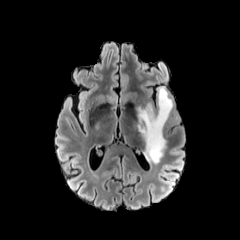
FLAIR magnetic resonance.
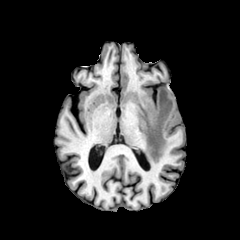
T1-weighted MR.
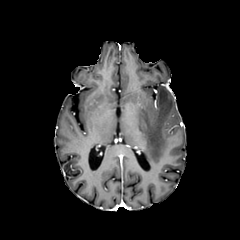
Post-contrast T1-weighted MR.
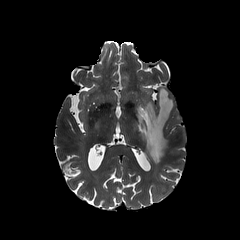
T2-weighted MR of the same slice.
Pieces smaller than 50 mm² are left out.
The largest peritumoral edema region is bounded by {"x1": 135, "y1": 87, "x2": 173, "y2": 163}.